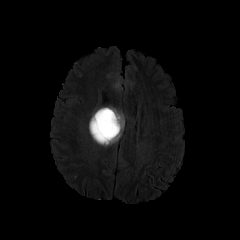
FLAIR MRI.
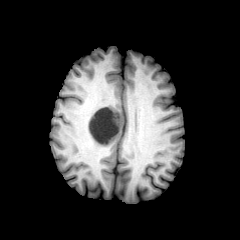
T1-weighted MR of the same slice.
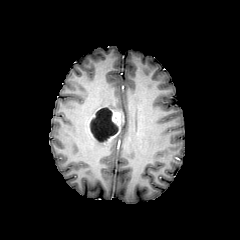
Post-contrast T1-weighted MRI of the same slice.
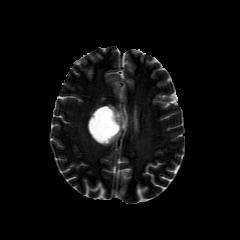
T2-weighted magnetic resonance.
Head | 240x240
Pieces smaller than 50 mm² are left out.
necrotic tumor core at l=90, t=108, r=118, b=142
enhancing tumor at l=101, t=108, r=123, b=144; l=88, t=113, r=95, b=139
peritumoral edema at l=94, t=117, r=124, b=146